Axial plane. Slice 97 of 155. 240x240.
FLAIR magnetic resonance.
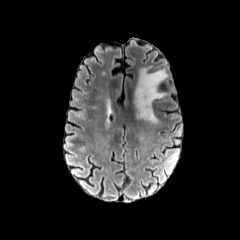
T1-weighted magnetic resonance.
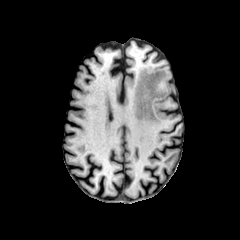
Post-contrast T1-weighted magnetic resonance.
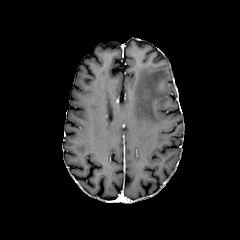
T2-weighted MR.
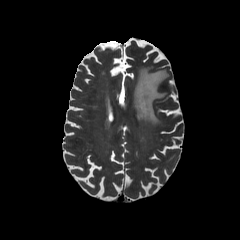
The peritumoral edema lies within (x1=134, y1=67, x2=168, y2=123).